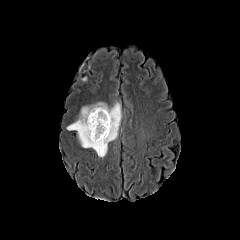
FLAIR magnetic resonance.
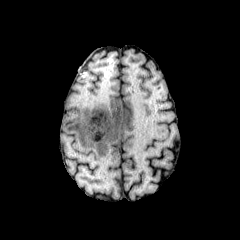
T1-weighted MR image of the same slice.
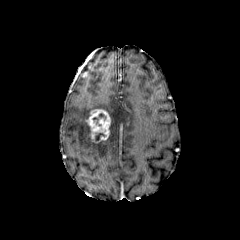
Post-contrast T1-weighted magnetic resonance of the same slice.
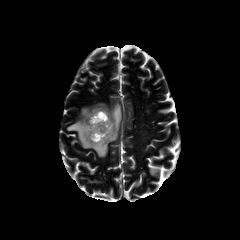
Same slice, T2-weighted MR.
Head.
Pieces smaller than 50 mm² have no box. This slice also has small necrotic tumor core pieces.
enhancing tumor: {"x1": 86, "y1": 109, "x2": 111, "y2": 142} | peritumoral edema: {"x1": 67, "y1": 102, "x2": 121, "y2": 157}